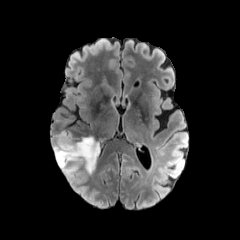
FLAIR MR image.
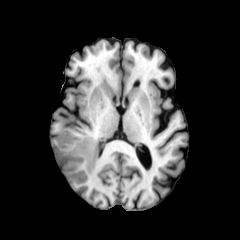
T1-weighted magnetic resonance.
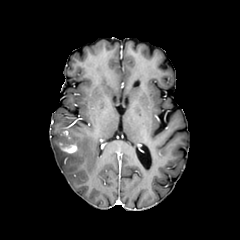
Post-contrast T1-weighted MRI.
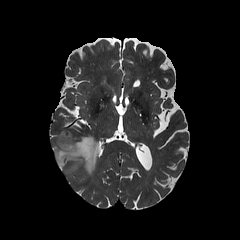
T2-weighted MR of the same slice.
Brain, 240x240 px, Axial view
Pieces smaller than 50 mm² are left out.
- peritumoral edema: 53:130:100:175
- enhancing tumor: 59:142:77:153